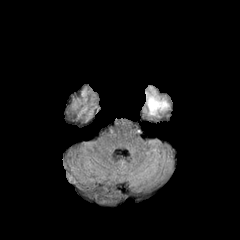
FLAIR magnetic resonance.
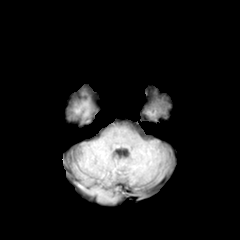
T1-weighted MR image.
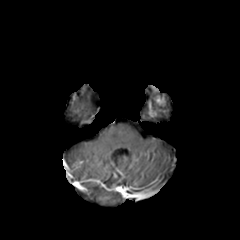
Post-contrast T1-weighted MRI.
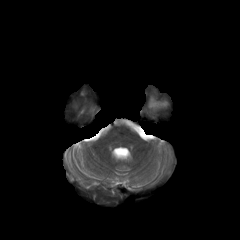
T2-weighted MR image.
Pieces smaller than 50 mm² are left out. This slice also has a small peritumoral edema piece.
Findings:
- enhancing tumor: 150,95,165,106; 147,99,165,116
- necrotic tumor core: 149,92,164,110